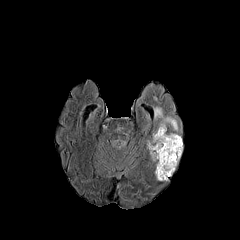
FLAIR MR.
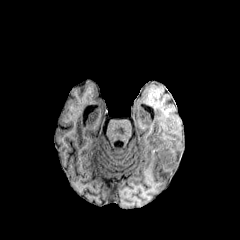
T1-weighted MRI.
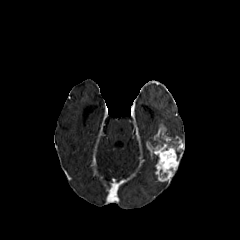
Post-contrast T1-weighted MR image.
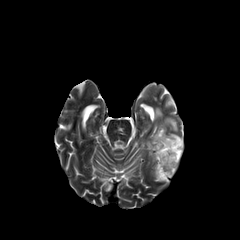
Same slice, T2-weighted MR image.
240x240 px
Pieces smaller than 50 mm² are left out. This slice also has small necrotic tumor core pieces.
Annotated regions:
- enhancing tumor: 146, 124, 183, 181
- peritumoral edema: 154, 107, 178, 131